240x240.
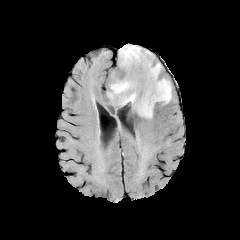
FLAIR MR.
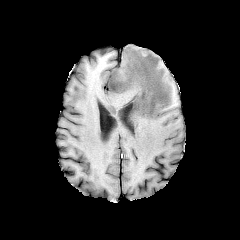
Same slice, T1-weighted MR.
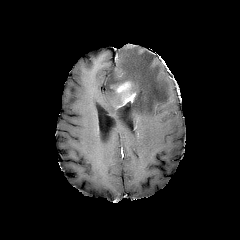
Post-contrast T1-weighted MR image.
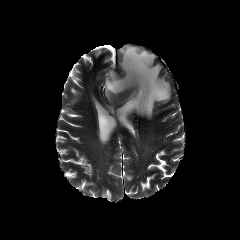
T2-weighted magnetic resonance.
peritumoral_edema:
  - {"x1": 107, "y1": 45, "x2": 171, "y2": 118}
enhancing_tumor:
  - {"x1": 112, "y1": 81, "x2": 131, "y2": 92}
  - {"x1": 123, "y1": 93, "x2": 135, "y2": 105}